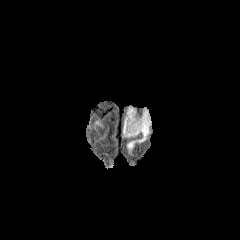
FLAIR magnetic resonance.
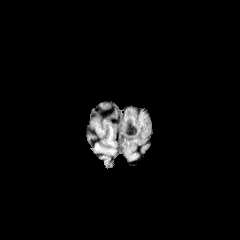
T1-weighted magnetic resonance.
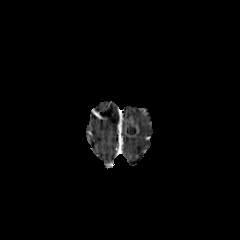
Post-contrast T1-weighted MR image.
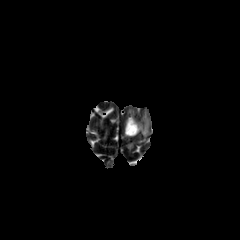
T2-weighted magnetic resonance.
Image size 240x240 | Brain
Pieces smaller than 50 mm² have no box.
The necrotic tumor core lies within x1=127, y1=124, x2=136, y2=134. The largest peritumoral edema region is at x1=126, y1=109, x2=150, y2=142. The enhancing tumor is at x1=124, y1=117, x2=139, y2=137.